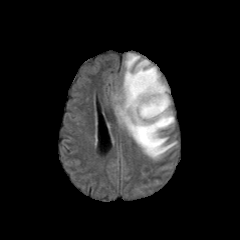
FLAIR magnetic resonance.
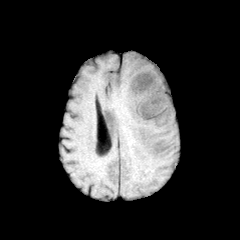
T1-weighted MR image.
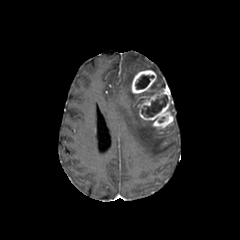
Same slice, post-contrast T1-weighted magnetic resonance.
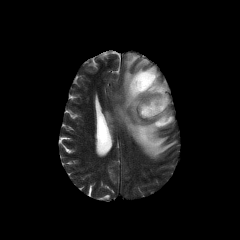
T2-weighted magnetic resonance of the same slice.
Head. Axial slice.
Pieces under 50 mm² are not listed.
The largest peritumoral edema region lies within {"x1": 115, "y1": 53, "x2": 176, "y2": 158}. 2 enhancing tumor regions appear at {"x1": 131, "y1": 70, "x2": 156, "y2": 94}, {"x1": 137, "y1": 86, "x2": 173, "y2": 128}. The 2 largest necrotic tumor core regions are located at {"x1": 135, "y1": 75, "x2": 153, "y2": 89}, {"x1": 141, "y1": 95, "x2": 167, "y2": 117}.